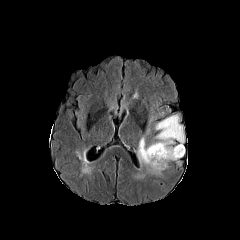
FLAIR MR.
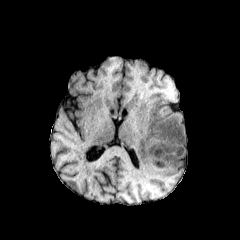
Same slice, T1-weighted MRI.
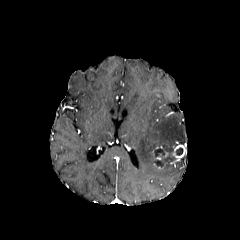
Post-contrast T1-weighted MRI.
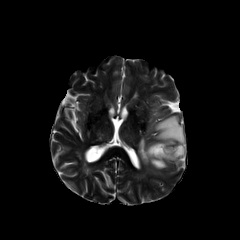
T2-weighted MR image of the same slice.
Axial plane. Head.
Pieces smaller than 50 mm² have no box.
{
  "enhancing_tumor": [
    "bbox(151, 144, 185, 160)"
  ],
  "peritumoral_edema": [
    "bbox(164, 157, 175, 168)",
    "bbox(137, 115, 184, 174)"
  ],
  "necrotic_tumor_core": [
    "bbox(154, 148, 164, 156)",
    "bbox(154, 158, 166, 167)"
  ]
}